FLAIR MRI.
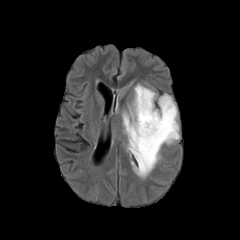
T1-weighted MR.
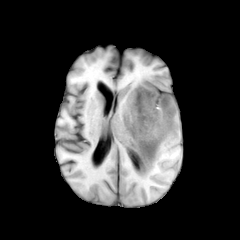
Post-contrast T1-weighted MR image.
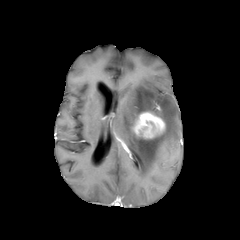
T2-weighted MR image.
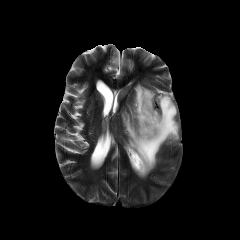
240x240 px; Axial plane; Head
{"enhancing_tumor": ["<bbox>131, 111, 165, 139</bbox>"], "peritumoral_edema": ["<bbox>122, 84, 179, 177</bbox>"]}